FLAIR magnetic resonance.
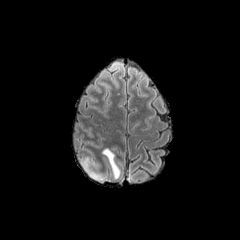
T1-weighted MR image.
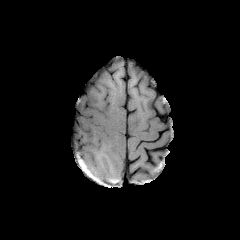
Post-contrast T1-weighted MRI.
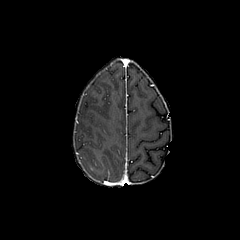
T2-weighted MRI.
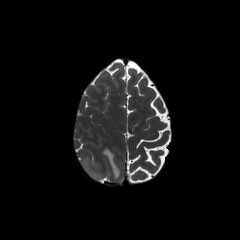
240x240 px | Axial plane | Head
{"peritumoral_edema": ["[81,157,103,181]", "[102,148,120,178]"]}